FLAIR MRI.
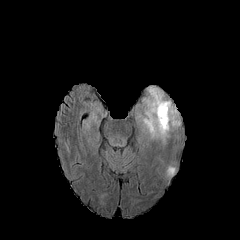
T1-weighted MR.
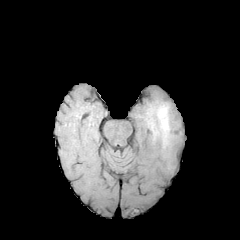
Post-contrast T1-weighted MR.
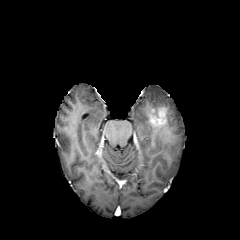
T2-weighted MR.
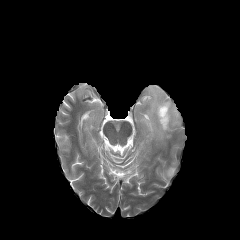
Axial view | Head | 240x240 px
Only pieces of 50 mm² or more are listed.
peritumoral_edema:
  - (left=142, top=86, right=180, bottom=138)
enhancing_tumor:
  - (left=150, top=107, right=167, bottom=127)